FLAIR magnetic resonance.
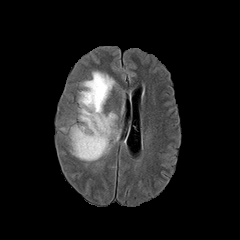
T1-weighted MR image.
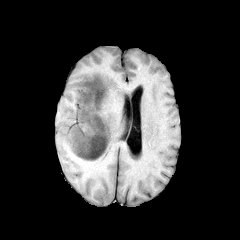
Post-contrast T1-weighted MRI.
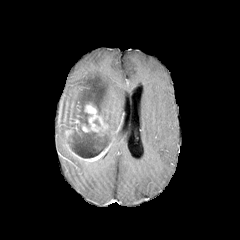
T2-weighted MR.
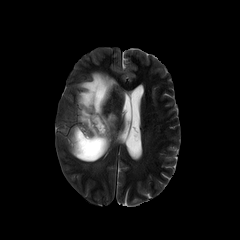
Head; Axial slice
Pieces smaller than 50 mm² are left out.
Annotated regions:
* peritumoral edema: 70, 71, 119, 154
* enhancing tumor: 67, 103, 108, 161
* necrotic tumor core: 74, 140, 99, 158